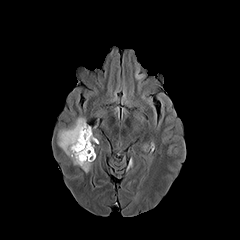
FLAIR MR image.
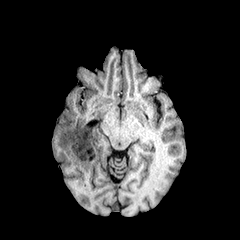
T1-weighted magnetic resonance.
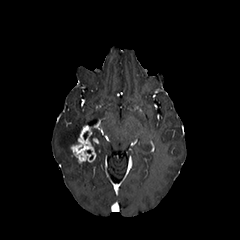
Same slice, post-contrast T1-weighted MRI.
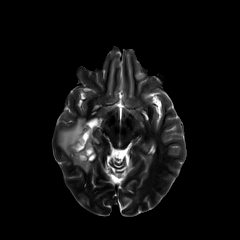
T2-weighted MR of the same slice.
Brain; 240x240 px
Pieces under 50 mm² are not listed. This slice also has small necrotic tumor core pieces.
enhancing tumor = <bbox>70, 125, 95, 163</bbox>
peritumoral edema = <bbox>58, 117, 91, 172</bbox>, <bbox>133, 67, 145, 78</bbox>